Slice 87 of 155, Image size 240x240, Brain
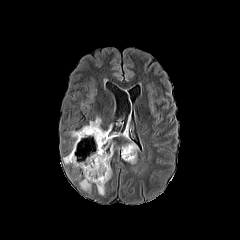
FLAIR MR.
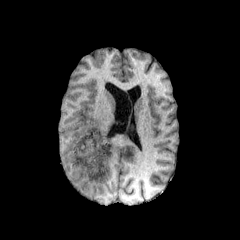
T1-weighted MR image of the same slice.
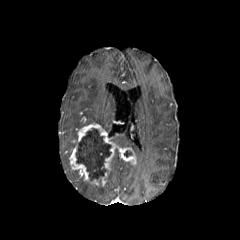
Post-contrast T1-weighted MR of the same slice.
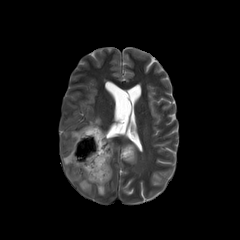
T2-weighted MR.
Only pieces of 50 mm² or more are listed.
enhancing tumor at l=69, t=123, r=136, b=186
peritumoral edema at l=97, t=186, r=105, b=195; l=89, t=117, r=101, b=124; l=79, t=180, r=91, b=192; l=122, t=143, r=137, b=156; l=63, t=153, r=70, b=164
necrotic tumor core at l=76, t=128, r=111, b=180